240x240. Head. Slice index 88.
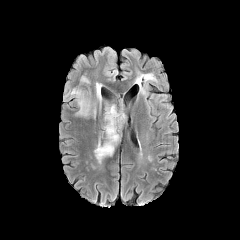
FLAIR MR image.
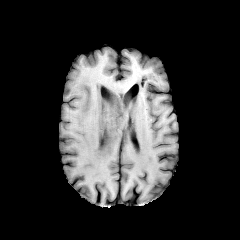
Same slice, T1-weighted magnetic resonance.
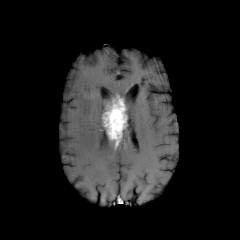
Post-contrast T1-weighted MR image of the same slice.
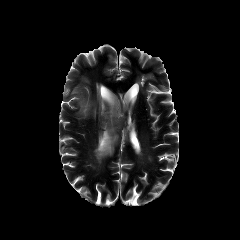
T2-weighted magnetic resonance of the same slice.
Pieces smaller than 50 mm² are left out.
Findings:
* peritumoral edema: region(94, 137, 115, 162); region(70, 88, 97, 118)
* enhancing tumor: region(102, 95, 126, 145)